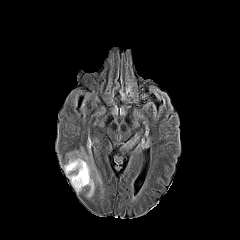
FLAIR magnetic resonance.
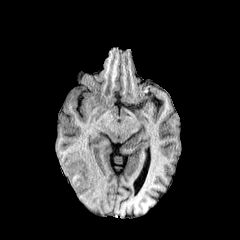
T1-weighted MRI.
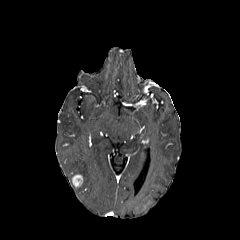
Same slice, post-contrast T1-weighted MR.
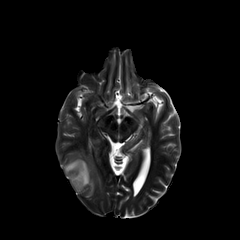
T2-weighted MRI.
240x240. Axial plane.
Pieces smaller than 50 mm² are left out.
peritumoral edema: bounding box x1=63, y1=150, x2=94, y2=197
enhancing tumor: bounding box x1=72, y1=174, x2=83, y2=187